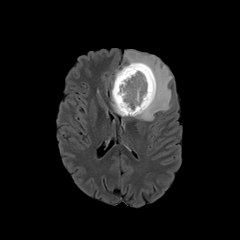
FLAIR MRI.
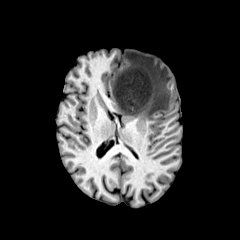
T1-weighted MRI.
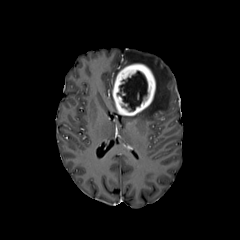
Same slice, post-contrast T1-weighted magnetic resonance.
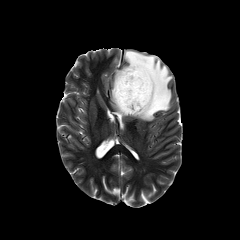
Same slice, T2-weighted MR image.
Axial view. Head. 240x240 px.
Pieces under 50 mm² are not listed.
{"peritumoral_edema": ["x1=122 y1=50 x2=172 y2=121", "x1=111 y1=90 x2=116 y2=111"], "necrotic_tumor_core": ["x1=117 y1=71 x2=147 y2=111"], "enhancing_tumor": ["x1=112 y1=63 x2=155 y2=115"]}